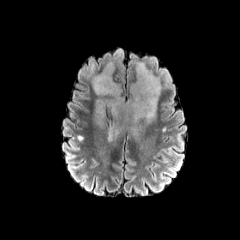
FLAIR MR.
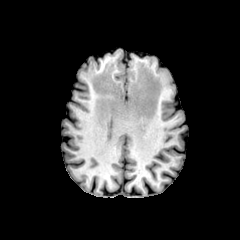
Same slice, T1-weighted MRI.
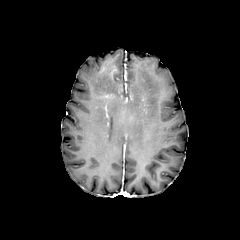
Post-contrast T1-weighted magnetic resonance of the same slice.
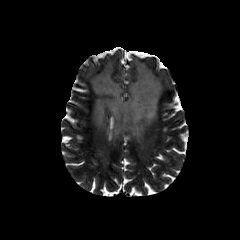
T2-weighted magnetic resonance.
Head.
peritumoral_edema:
  - [92,62,161,135]